Head. Axial slice.
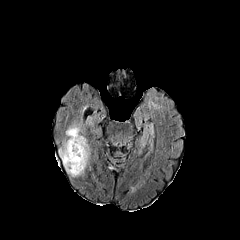
FLAIR MR.
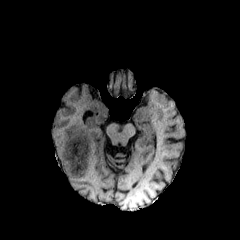
Same slice, T1-weighted magnetic resonance.
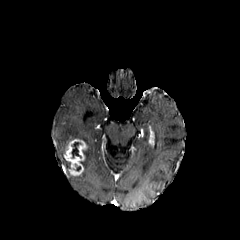
Post-contrast T1-weighted MR image.
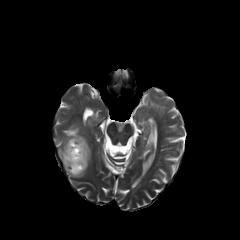
T2-weighted MR image.
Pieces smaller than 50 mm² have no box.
necrotic_tumor_core:
  - box=[70, 142, 83, 159]
peritumoral_edema:
  - box=[59, 123, 90, 177]
enhancing_tumor:
  - box=[64, 139, 85, 175]